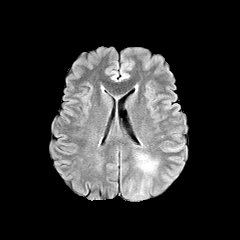
FLAIR MR.
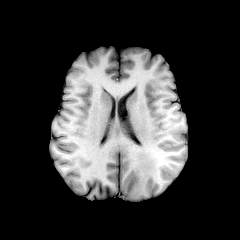
T1-weighted MR.
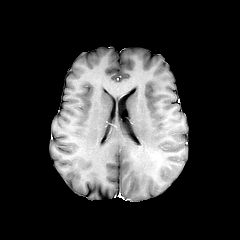
Same slice, post-contrast T1-weighted MRI.
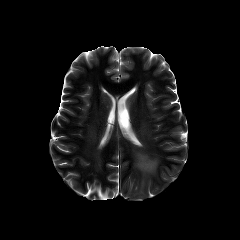
T2-weighted MR image.
Axial view. Image size 240x240.
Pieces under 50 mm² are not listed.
The largest peritumoral edema region is located at (137, 154, 157, 173).